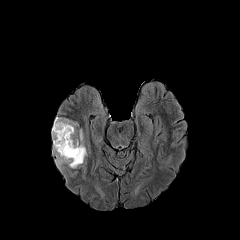
FLAIR MR.
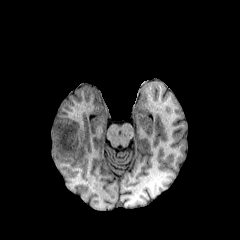
T1-weighted MRI.
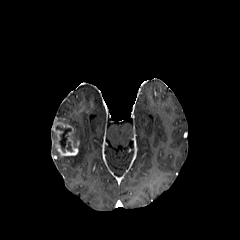
Post-contrast T1-weighted MRI of the same slice.
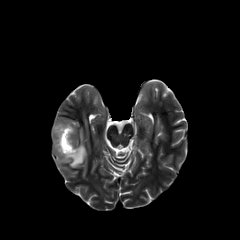
T2-weighted MR image of the same slice.
Brain. Axial plane.
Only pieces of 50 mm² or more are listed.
Annotated regions:
- necrotic tumor core: 56 126 72 152
- enhancing tumor: 52 117 79 156
- peritumoral edema: 66 119 78 127, 53 128 87 168